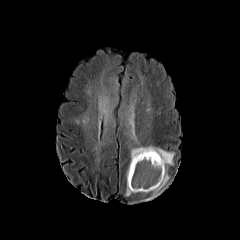
FLAIR MRI.
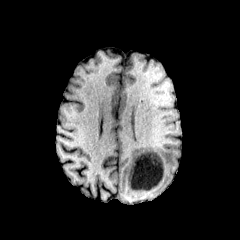
T1-weighted MR of the same slice.
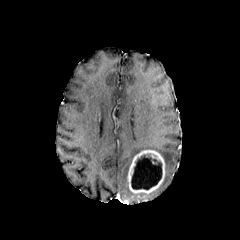
Post-contrast T1-weighted MRI of the same slice.
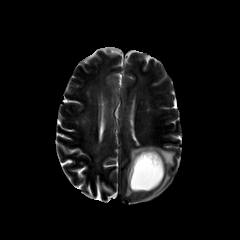
Same slice, T2-weighted MR image.
Image size 240x240
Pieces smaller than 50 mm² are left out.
peritumoral_edema:
  - [97, 96, 114, 150]
  - [118, 105, 174, 199]
  - [125, 179, 131, 196]
necrotic_tumor_core:
  - [131, 154, 161, 189]
enhancing_tumor:
  - [127, 149, 165, 193]